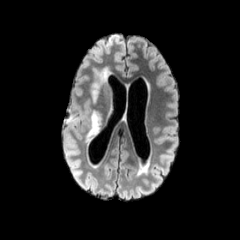
FLAIR magnetic resonance.
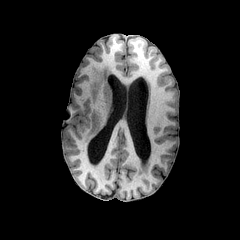
T1-weighted MRI.
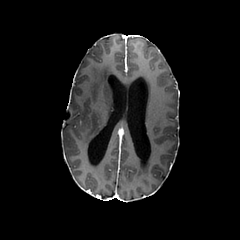
Post-contrast T1-weighted MR image of the same slice.
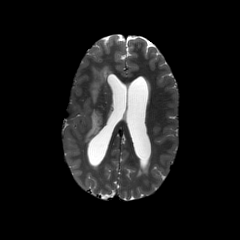
T2-weighted MRI.
Axial plane. Head.
{"peritumoral_edema": ["(x1=85, y1=110, x2=101, y2=141)", "(x1=91, y1=67, x2=110, y2=102)"]}